FLAIR MRI.
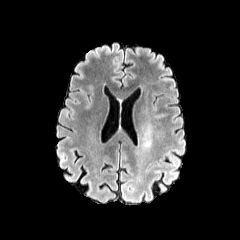
T1-weighted MR image.
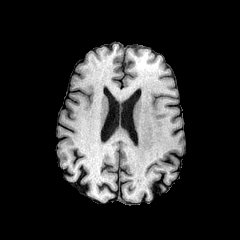
Post-contrast T1-weighted MR.
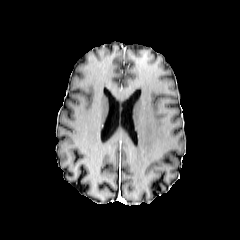
T2-weighted MR image.
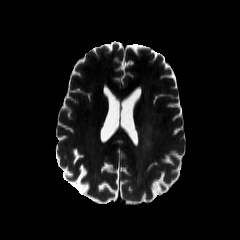
Brain; 240x240 px
peritumoral edema: box(143, 125, 152, 146)